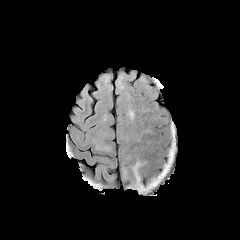
FLAIR MR image.
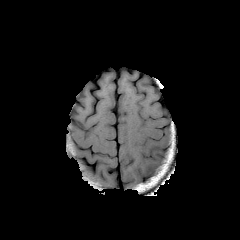
T1-weighted MR.
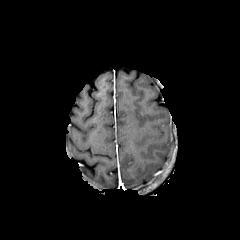
Post-contrast T1-weighted magnetic resonance.
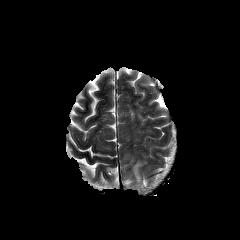
Same slice, T2-weighted MR image.
Axial view
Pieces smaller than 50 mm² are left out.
{"peritumoral_edema": ["rect(127, 161, 143, 188)"]}